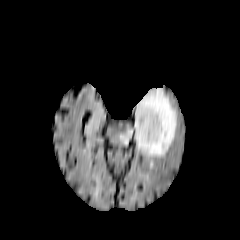
FLAIR MR.
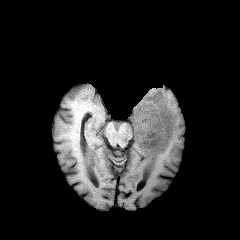
T1-weighted MR image of the same slice.
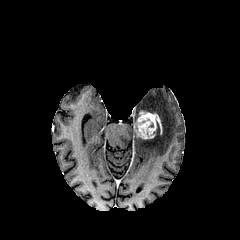
Post-contrast T1-weighted MRI.
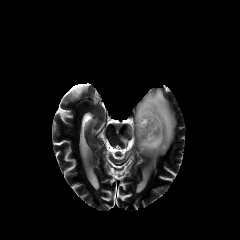
Same slice, T2-weighted magnetic resonance.
Head
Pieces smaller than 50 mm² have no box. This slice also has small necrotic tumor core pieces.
Segmented structures:
- peritumoral edema: rect(120, 88, 176, 157)
- enhancing tumor: rect(134, 110, 162, 139)